Slice 104 of 155
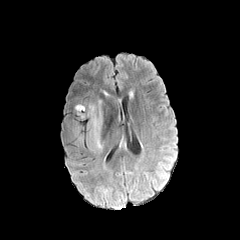
FLAIR MRI.
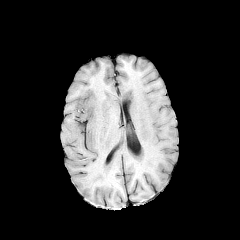
T1-weighted MR image.
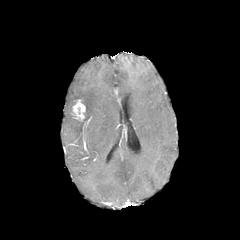
Post-contrast T1-weighted MR image of the same slice.
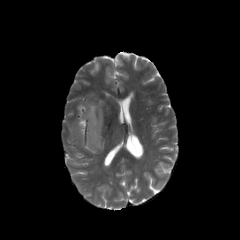
Same slice, T2-weighted MR image.
Annotated regions:
* peritumoral edema: {"x1": 87, "y1": 100, "x2": 102, "y2": 149}
* enhancing tumor: {"x1": 73, "y1": 101, "x2": 85, "y2": 119}